FLAIR MRI.
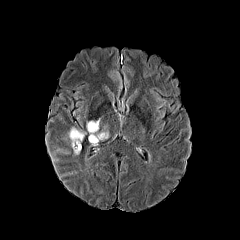
T1-weighted magnetic resonance.
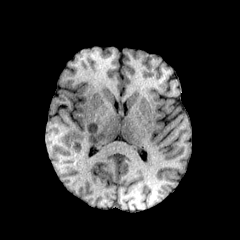
Post-contrast T1-weighted MR.
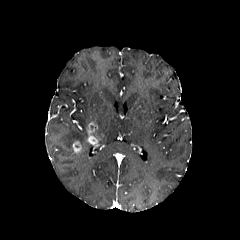
T2-weighted MR image.
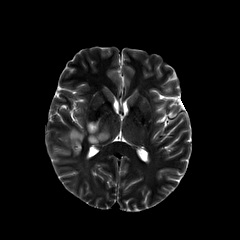
240x240 | Head | Axial plane
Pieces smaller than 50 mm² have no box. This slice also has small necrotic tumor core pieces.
enhancing tumor at (x1=72, y1=141, x2=81, y2=153), (x1=87, y1=122, x2=99, y2=143)
peritumoral edema at (x1=68, y1=128, x2=85, y2=145), (x1=96, y1=129, x2=109, y2=141)